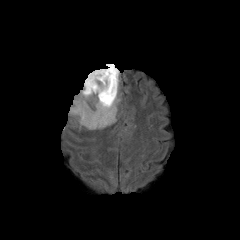
FLAIR MR image.
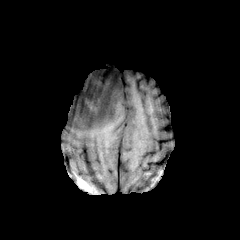
T1-weighted MR.
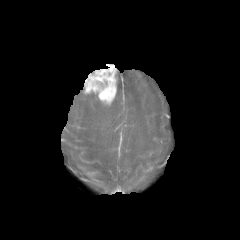
Post-contrast T1-weighted MR image.
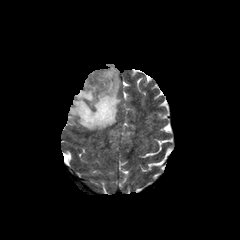
T2-weighted magnetic resonance.
Axial plane
peritumoral_edema:
  - bbox=[68, 70, 120, 130]
enhancing_tumor:
  - bbox=[84, 64, 117, 105]